FLAIR MR.
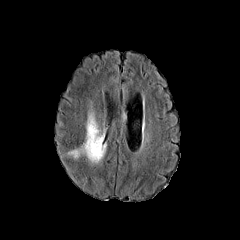
T1-weighted MRI.
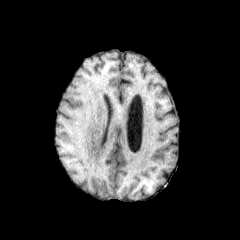
Post-contrast T1-weighted MR.
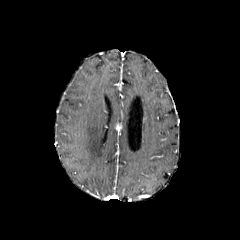
T2-weighted MR image.
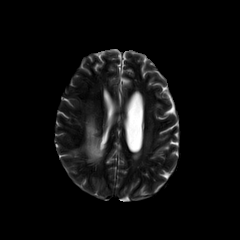
Head; Axial slice
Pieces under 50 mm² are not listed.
The largest peritumoral edema region lies within (82,114,106,162).